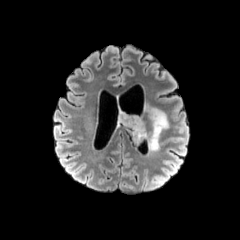
FLAIR MR.
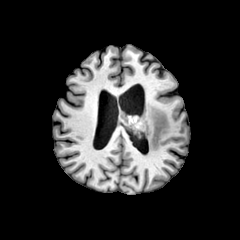
T1-weighted magnetic resonance.
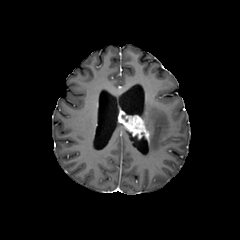
Post-contrast T1-weighted MRI of the same slice.
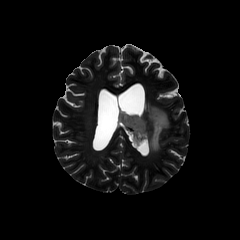
Same slice, T2-weighted MR.
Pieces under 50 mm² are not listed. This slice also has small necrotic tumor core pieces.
peritumoral edema = x1=147, y1=106, x2=168, y2=151
enhancing tumor = x1=118, y1=111, x2=149, y2=141